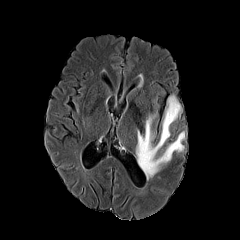
FLAIR MR image.
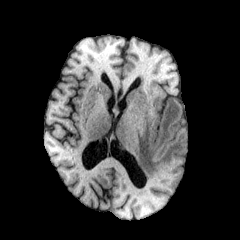
T1-weighted MR of the same slice.
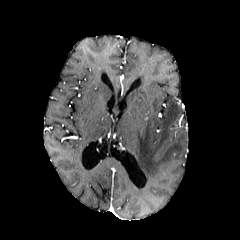
Post-contrast T1-weighted MR image.
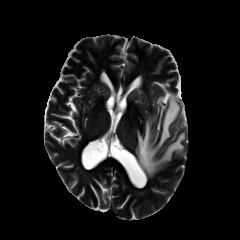
T2-weighted MR.
Head, Axial plane, 240x240
The peritumoral edema lies within [136,95,185,179].